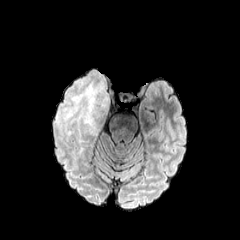
FLAIR magnetic resonance.
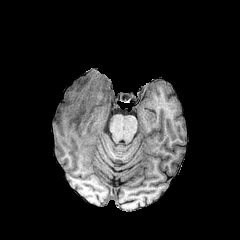
T1-weighted magnetic resonance.
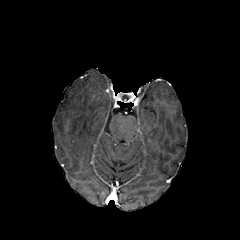
Post-contrast T1-weighted MR image.
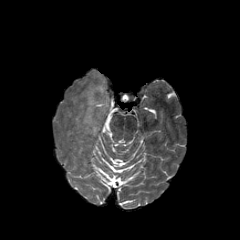
Same slice, T2-weighted MRI.
240x240 | Axial plane | Brain
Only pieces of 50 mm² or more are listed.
The largest peritumoral edema region is bounded by [55, 69, 110, 135].